FLAIR MR image.
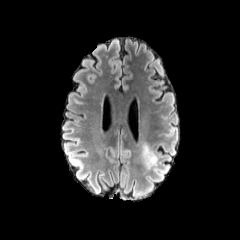
T1-weighted MRI.
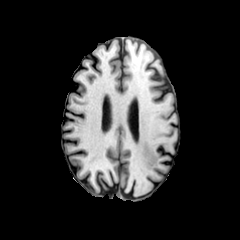
Post-contrast T1-weighted magnetic resonance.
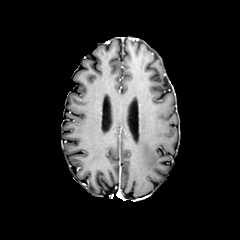
T2-weighted MRI.
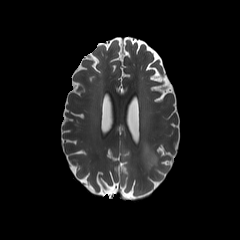
Image size 240x240
The peritumoral edema is at (left=140, top=141, right=157, bottom=169).